FLAIR MR.
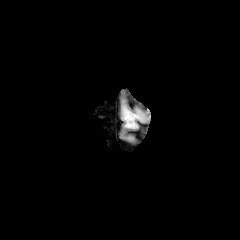
T1-weighted magnetic resonance.
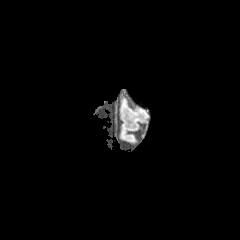
Post-contrast T1-weighted MR.
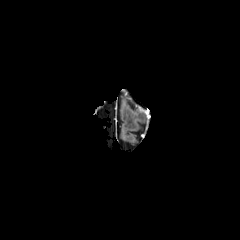
T2-weighted MRI.
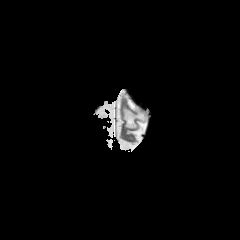
Axial slice.
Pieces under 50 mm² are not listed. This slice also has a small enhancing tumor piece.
peritumoral_edema:
  - (122,106,145,128)